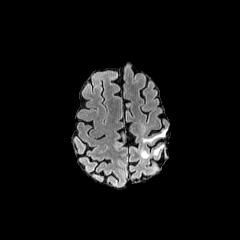
FLAIR MRI.
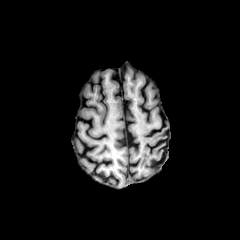
T1-weighted magnetic resonance.
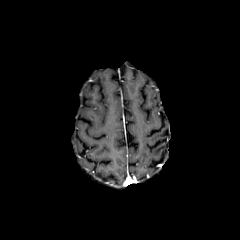
Same slice, post-contrast T1-weighted magnetic resonance.
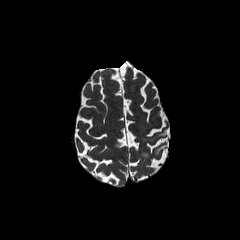
Same slice, T2-weighted MRI.
Brain
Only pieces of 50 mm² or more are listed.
peritumoral edema — 142,130,165,142; 140,149,149,158